FLAIR MR image.
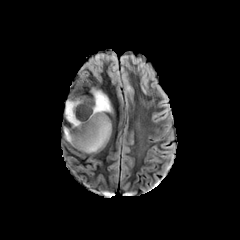
T1-weighted MR.
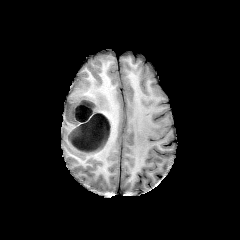
Post-contrast T1-weighted magnetic resonance.
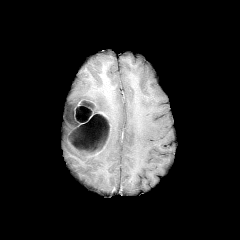
T2-weighted MR.
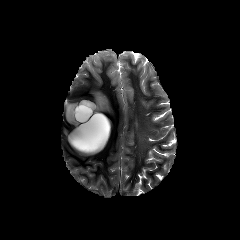
Image size 240x240; Axial view
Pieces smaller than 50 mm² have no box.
peritumoral_edema:
  - 92,89,112,114
enhancing_tumor:
  - 64,99,111,154
necrotic_tumor_core:
  - 76,106,91,121
  - 66,105,77,126
  - 70,114,109,151